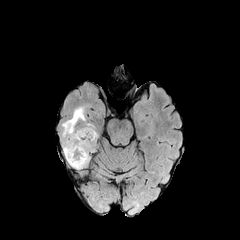
FLAIR magnetic resonance.
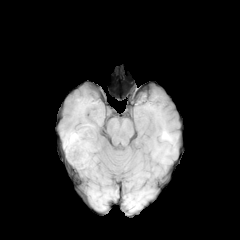
Same slice, T1-weighted MRI.
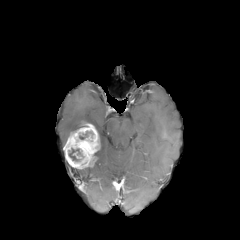
Post-contrast T1-weighted magnetic resonance.
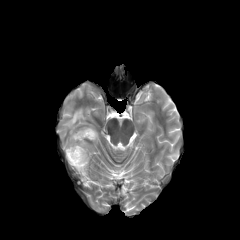
T2-weighted MR.
Axial slice
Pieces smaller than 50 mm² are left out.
The peritumoral edema lies within box=[62, 107, 85, 136]. The largest necrotic tumor core region is at box=[68, 148, 84, 161]. The enhancing tumor is bounded by box=[63, 123, 99, 168].